Brain; 240x240 px; Slice 83 of 155
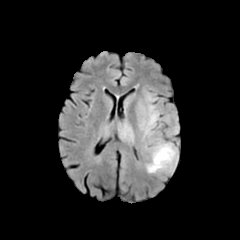
FLAIR MRI.
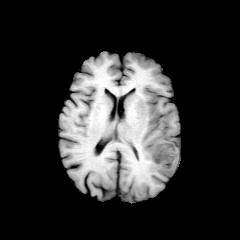
T1-weighted MRI.
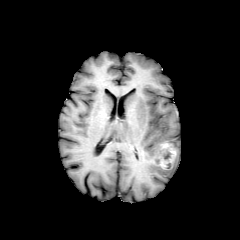
Same slice, post-contrast T1-weighted MRI.
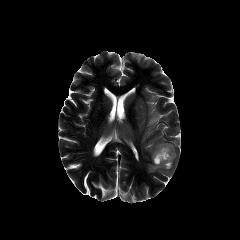
Same slice, T2-weighted MR.
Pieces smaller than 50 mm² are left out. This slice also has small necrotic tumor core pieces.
peritumoral edema: box=[139, 92, 160, 138]; box=[146, 139, 178, 174] | enhancing tumor: box=[153, 143, 176, 169]